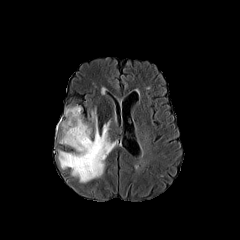
FLAIR MR image.
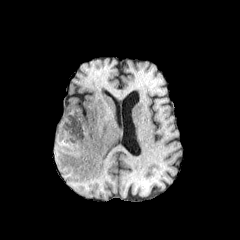
Same slice, T1-weighted MR.
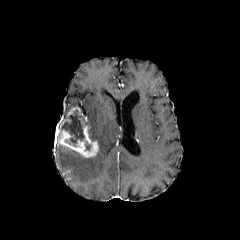
Post-contrast T1-weighted MR image.
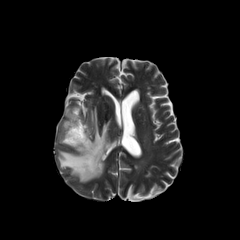
T2-weighted magnetic resonance.
Image size 240x240
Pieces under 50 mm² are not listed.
{"necrotic_tumor_core": ["bbox=[61, 109, 84, 144]"], "peritumoral_edema": ["bbox=[58, 108, 115, 182]"], "enhancing_tumor": ["bbox=[55, 106, 98, 157]"]}